FLAIR MRI.
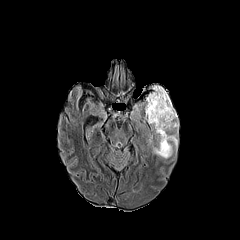
T1-weighted MRI.
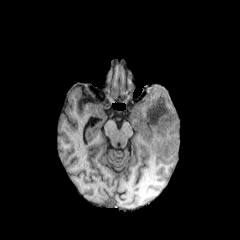
Post-contrast T1-weighted magnetic resonance.
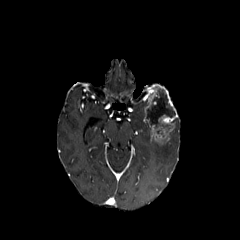
T2-weighted MR image.
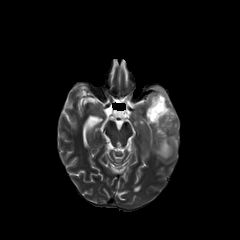
240x240; Brain
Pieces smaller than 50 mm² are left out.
{
  "necrotic_tumor_core": [
    "rect(146, 88, 175, 127)"
  ],
  "peritumoral_edema": [
    "rect(157, 118, 178, 158)"
  ],
  "enhancing_tumor": [
    "rect(144, 84, 177, 143)"
  ]
}